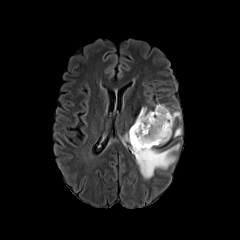
FLAIR MR image.
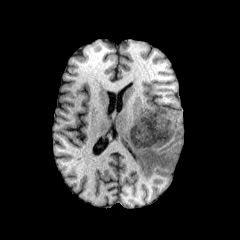
T1-weighted MR image of the same slice.
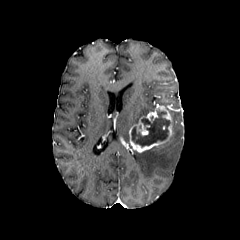
Post-contrast T1-weighted magnetic resonance.
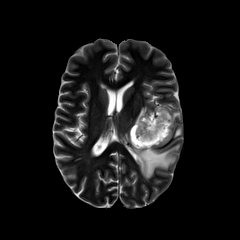
T2-weighted MR image.
240x240 px
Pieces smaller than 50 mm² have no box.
- enhancing tumor: box=[129, 105, 172, 152]
- peritumoral edema: box=[173, 127, 181, 137]; box=[170, 112, 180, 126]; box=[133, 144, 179, 179]; box=[134, 107, 147, 123]
- necrotic tumor core: box=[131, 111, 170, 146]